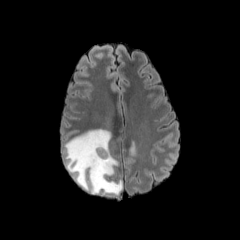
FLAIR MR image.
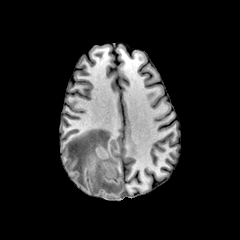
Same slice, T1-weighted MR image.
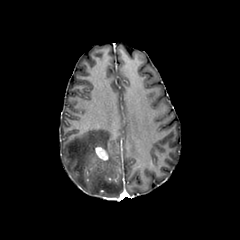
Post-contrast T1-weighted MR image.
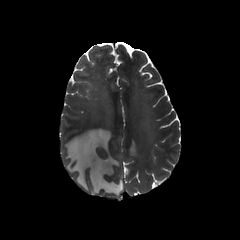
T2-weighted MRI.
Head
The enhancing tumor is bounded by (left=95, top=146, right=108, bottom=160). 2 peritumoral edema regions are bounded by (left=64, top=129, right=122, bottom=196), (left=130, top=142, right=135, bottom=155).